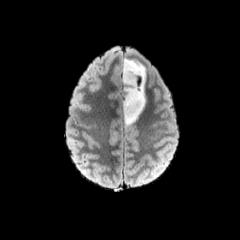
FLAIR MR image.
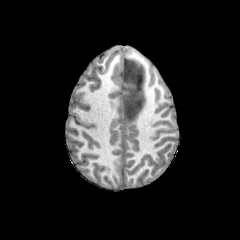
T1-weighted MR of the same slice.
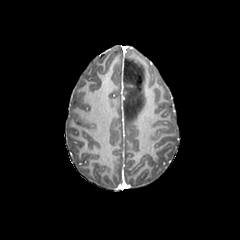
Same slice, post-contrast T1-weighted magnetic resonance.
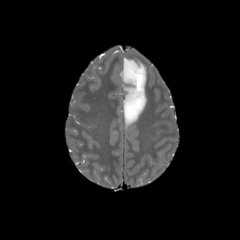
T2-weighted magnetic resonance of the same slice.
Image size 240x240, Brain
peritumoral edema — box(122, 59, 145, 126)